Image size 240x240; Image width 240 mm, 1.00 mm slice spacing; Axial view
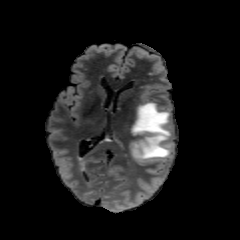
FLAIR MR.
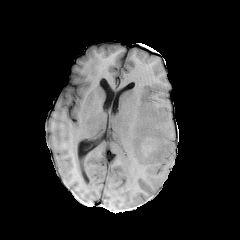
T1-weighted magnetic resonance.
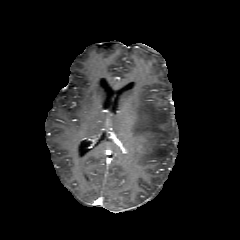
Post-contrast T1-weighted MRI.
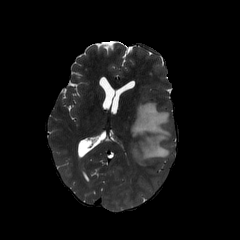
T2-weighted MRI of the same slice.
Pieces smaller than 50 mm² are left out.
enhancing tumor: bounding box box(134, 132, 156, 154)
peritumoral edema: bounding box box(131, 102, 172, 165)